FLAIR MR.
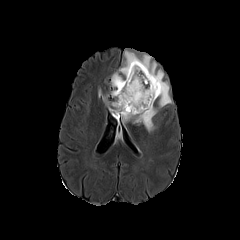
T1-weighted MRI.
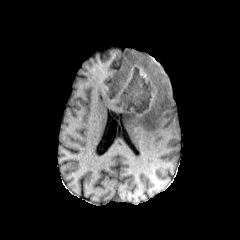
Post-contrast T1-weighted MRI.
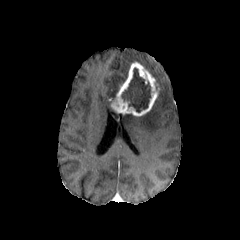
T2-weighted MR.
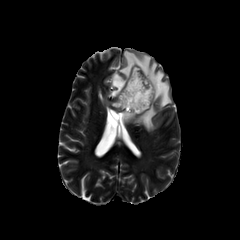
Brain.
necrotic tumor core: [x1=121, y1=68, x2=150, y2=112]
enhancing tumor: [x1=111, y1=61, x2=159, y2=116]
peritumoral edema: [x1=124, y1=105, x2=157, y2=131], [x1=110, y1=50, x2=172, y2=108], [x1=103, y1=95, x2=111, y2=107]